Image size 240x240. Head. Axial plane.
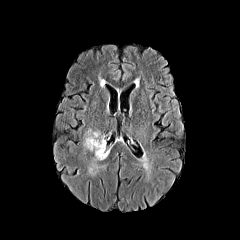
FLAIR MR image.
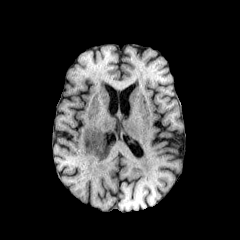
T1-weighted magnetic resonance of the same slice.
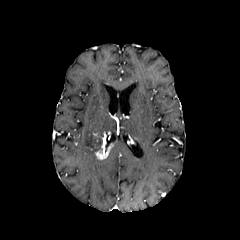
Post-contrast T1-weighted magnetic resonance.
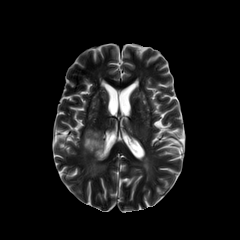
T2-weighted MRI.
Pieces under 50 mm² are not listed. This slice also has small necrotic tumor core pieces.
peritumoral edema: <box>83,128,106,176</box>
enhancing tumor: <box>95,131,113,159</box>